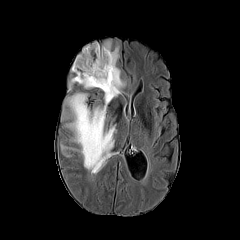
FLAIR MR.
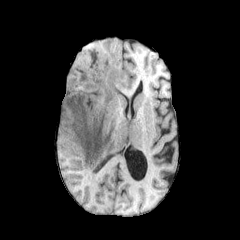
T1-weighted MRI.
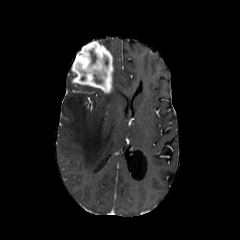
Same slice, post-contrast T1-weighted MR image.
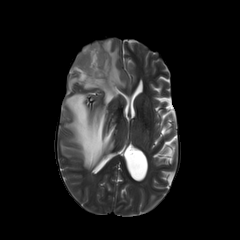
T2-weighted MR.
Axial plane. Head.
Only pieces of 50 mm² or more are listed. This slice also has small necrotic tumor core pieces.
The largest peritumoral edema region is bounded by {"x1": 61, "y1": 40, "x2": 125, "y2": 170}. The enhancing tumor appears at {"x1": 71, "y1": 41, "x2": 113, "y2": 93}.